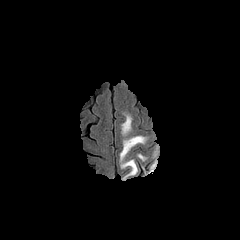
FLAIR MR.
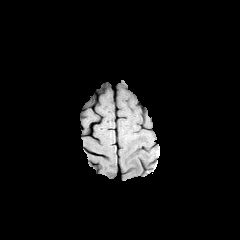
Same slice, T1-weighted MRI.
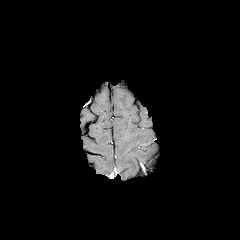
Post-contrast T1-weighted MRI.
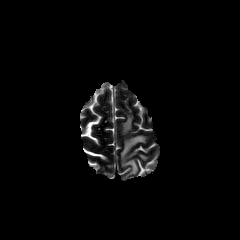
Same slice, T2-weighted magnetic resonance.
Head.
3 peritumoral edema regions appear at left=137, top=153, right=147, bottom=161; left=120, top=135, right=148, bottom=179; left=121, top=113, right=132, bottom=136.